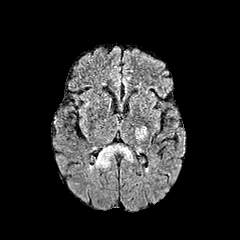
FLAIR MR.
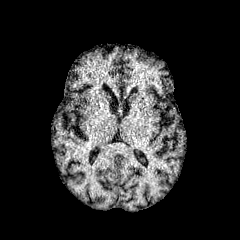
T1-weighted MRI.
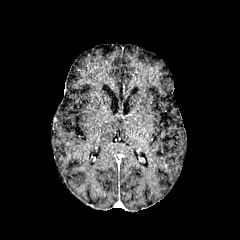
Same slice, post-contrast T1-weighted magnetic resonance.
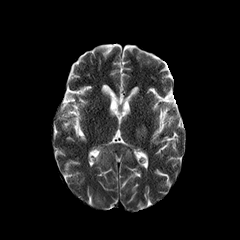
T2-weighted MR.
Brain
{"peritumoral_edema": ["region(136, 126, 146, 139)", "region(95, 145, 132, 167)"]}